FLAIR MR.
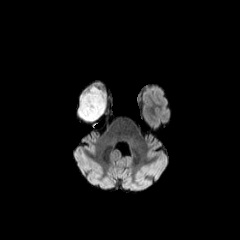
T1-weighted magnetic resonance.
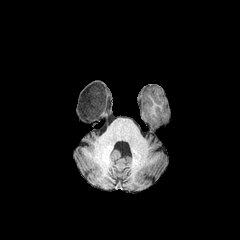
Post-contrast T1-weighted MR image.
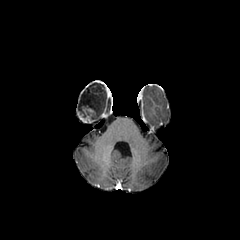
T2-weighted MR.
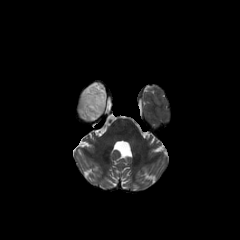
240x240 px | Axial slice | Head
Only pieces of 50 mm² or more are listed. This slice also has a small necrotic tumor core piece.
The enhancing tumor is located at left=78, top=105, right=95, bottom=122. The peritumoral edema appears at left=79, top=84, right=106, bottom=119.